FLAIR magnetic resonance.
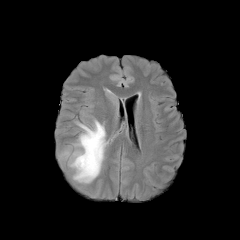
T1-weighted magnetic resonance.
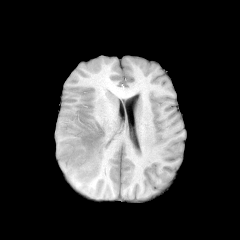
Post-contrast T1-weighted MR image.
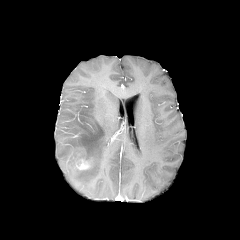
T2-weighted MR.
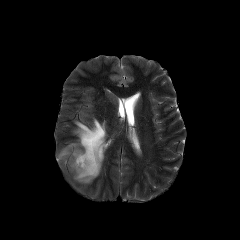
Brain. 240x240. Axial view.
peritumoral edema: 59, 119, 107, 183
enhancing tumor: 75, 158, 91, 170